FLAIR MR.
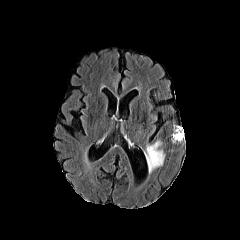
T1-weighted MRI.
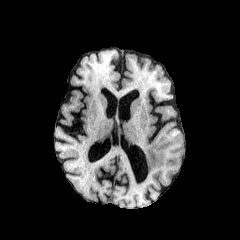
Post-contrast T1-weighted MR image.
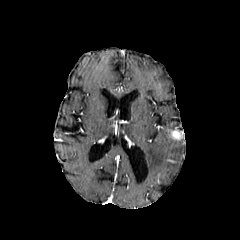
T2-weighted MR.
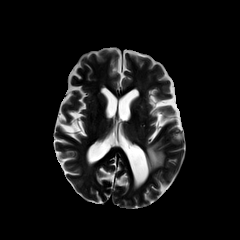
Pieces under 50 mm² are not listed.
The largest peritumoral edema region is bounded by box(145, 141, 164, 171). The enhancing tumor is bounded by box(171, 129, 183, 140).